Image width 240 mm, 1.00 mm slice spacing. Axial view.
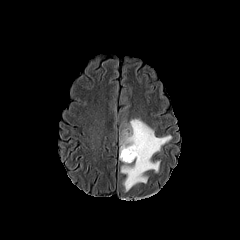
FLAIR MR.
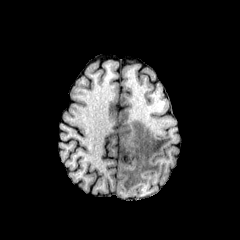
T1-weighted MR of the same slice.
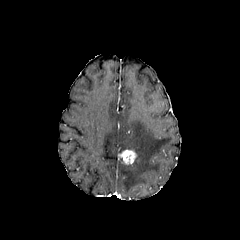
Post-contrast T1-weighted magnetic resonance of the same slice.
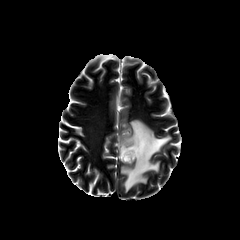
Same slice, T2-weighted MR image.
Findings:
* enhancing tumor: [x1=119, y1=149, x2=137, y2=164]
* peritumoral edema: [x1=120, y1=119, x2=171, y2=191]